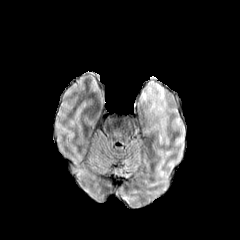
FLAIR MR image.
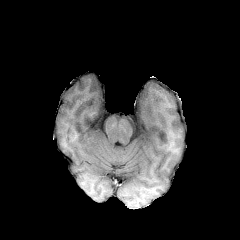
T1-weighted MR image.
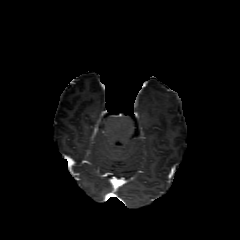
Post-contrast T1-weighted MRI.
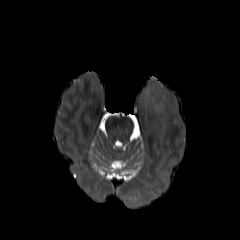
T2-weighted MR image of the same slice.
240x240
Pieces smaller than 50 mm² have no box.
peritumoral_edema:
  - region(143, 88, 150, 100)
  - region(150, 100, 163, 112)